Axial plane; Image covers 240 mm x 240 mm
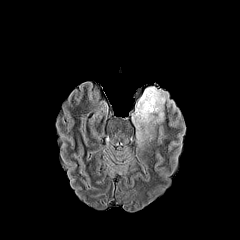
FLAIR magnetic resonance.
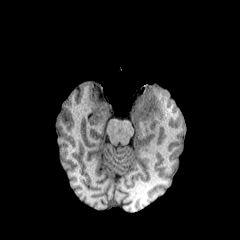
Same slice, T1-weighted MRI.
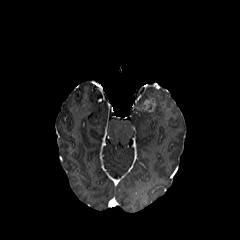
Post-contrast T1-weighted magnetic resonance.
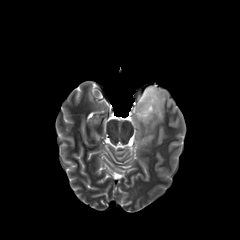
Same slice, T2-weighted MR image.
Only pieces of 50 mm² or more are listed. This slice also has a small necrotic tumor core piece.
Annotated regions:
- peritumoral edema: l=132, t=87, r=168, b=141
- enhancing tumor: l=141, t=98, r=155, b=112